FLAIR magnetic resonance.
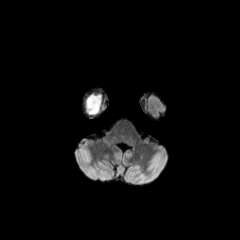
T1-weighted MRI.
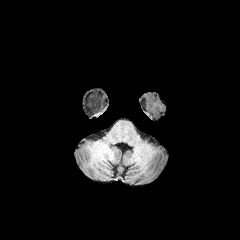
Post-contrast T1-weighted magnetic resonance.
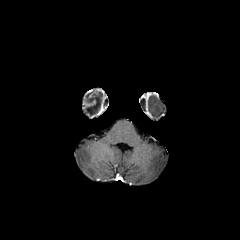
T2-weighted MR.
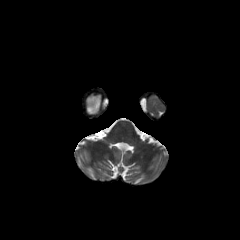
240x240.
{"peritumoral_edema": ["left=86, top=94, right=101, bottom=114"]}